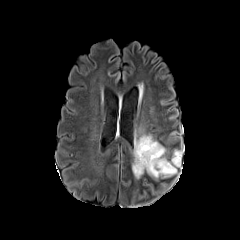
FLAIR magnetic resonance.
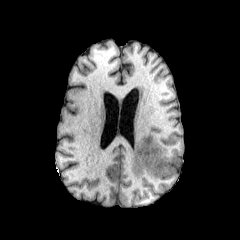
Same slice, T1-weighted MR image.
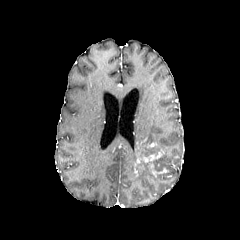
Same slice, post-contrast T1-weighted MR image.
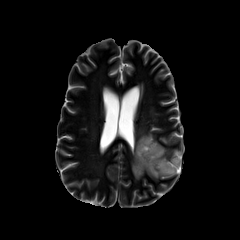
T2-weighted MR.
Head
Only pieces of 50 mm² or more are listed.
Annotated regions:
* necrotic tumor core: <bbox>139, 139, 161, 156</bbox>, <bbox>153, 157, 166, 171</bbox>
* peritumoral edema: <bbox>132, 134, 180, 178</bbox>
* enhancing tumor: <bbox>147, 142, 159, 148</bbox>, <bbox>134, 144, 168, 176</bbox>